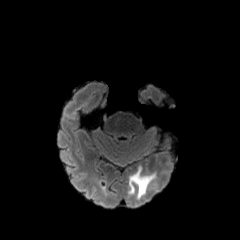
FLAIR MR image.
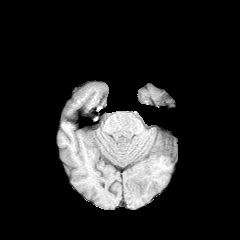
T1-weighted MR image.
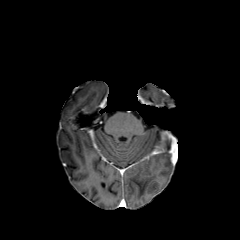
Post-contrast T1-weighted MR image.
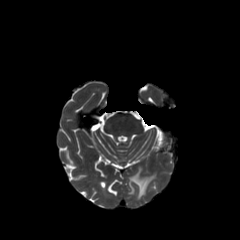
T2-weighted magnetic resonance.
Brain, Axial view
Segmented structures:
- peritumoral edema: 129, 167, 155, 199